FLAIR MRI.
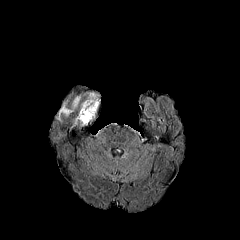
T1-weighted MR.
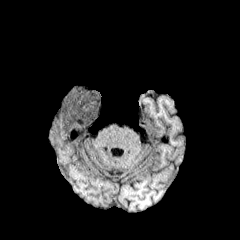
Post-contrast T1-weighted magnetic resonance.
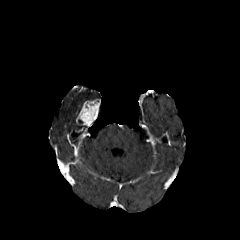
T2-weighted MR image.
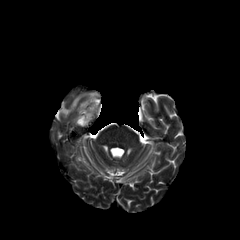
240x240 px
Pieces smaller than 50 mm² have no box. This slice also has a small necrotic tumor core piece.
The enhancing tumor is bounded by x1=76, y1=99, x2=100, y2=126. The 2 largest peritumoral edema regions appear at x1=84, y1=92, x2=97, y2=99; x1=57, y1=96, x2=80, y2=120.